Head
FLAIR magnetic resonance.
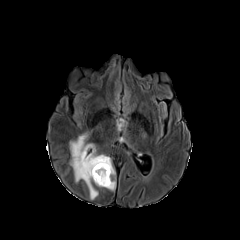
T1-weighted MRI.
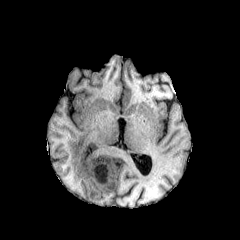
Post-contrast T1-weighted MR.
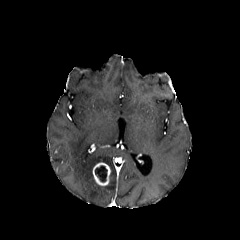
T2-weighted magnetic resonance.
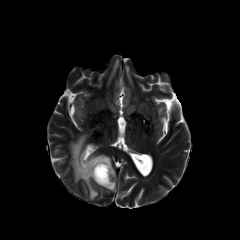
necrotic tumor core: bounding box left=95, top=166, right=107, bottom=181
enhancing tumor: bounding box left=92, top=162, right=110, bottom=186
peritumoral edema: bounding box left=70, top=133, right=115, bottom=199